Brain; Image size 240x240; Axial plane; Slice 107 of 155; Image width 240 mm
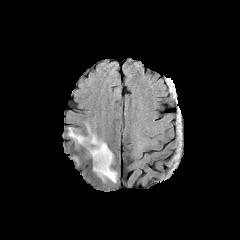
FLAIR MRI.
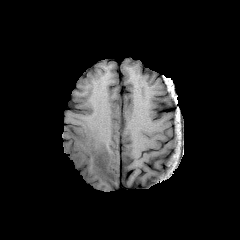
Same slice, T1-weighted MRI.
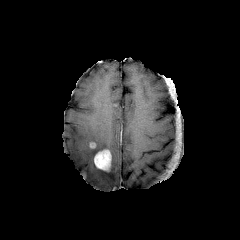
Post-contrast T1-weighted MR image.
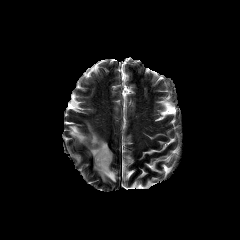
T2-weighted magnetic resonance.
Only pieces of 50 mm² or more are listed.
<segmentation>
  <peritumoral_edema>left=68, top=123, right=113, bottom=164; left=93, top=163, right=117, bottom=182</peritumoral_edema>
  <enhancing_tumor>left=94, top=149, right=111, bottom=171</enhancing_tumor>
</segmentation>